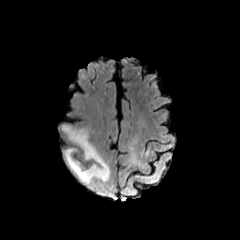
FLAIR MRI.
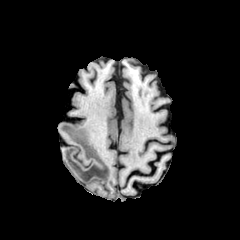
T1-weighted magnetic resonance.
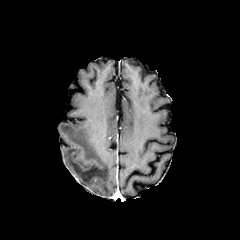
Post-contrast T1-weighted MR image of the same slice.
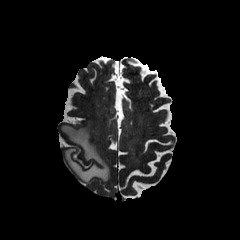
T2-weighted MR image.
240x240 px
The peritumoral edema is at x1=60 y1=124 x2=110 y2=184.